Head; Axial view; Slice 91/155
FLAIR MR image.
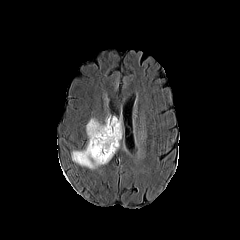
T1-weighted MR.
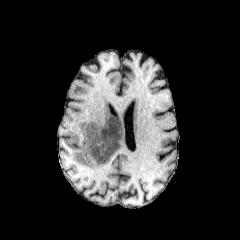
Post-contrast T1-weighted MR.
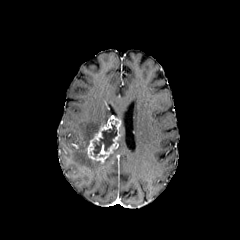
T2-weighted magnetic resonance.
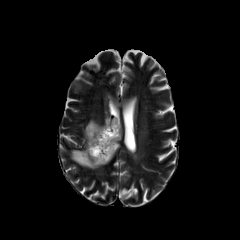
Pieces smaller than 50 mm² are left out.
peritumoral_edema:
  - (x1=86, y1=119, x2=102, y2=146)
  - (x1=71, y1=147, x2=118, y2=169)
necrotic_tumor_core:
  - (x1=93, y1=123, x2=116, y2=157)
enhancing_tumor:
  - (x1=87, y1=117, x2=121, y2=163)